Slice index 78; Image size 240x240; Head
FLAIR MR image.
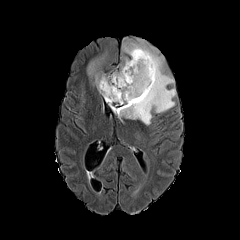
T1-weighted MR image.
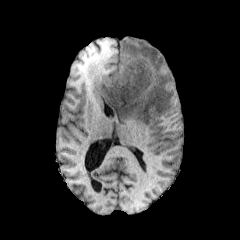
Post-contrast T1-weighted MR image.
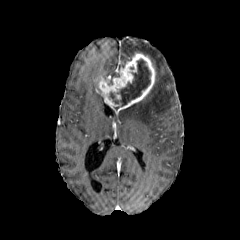
T2-weighted magnetic resonance.
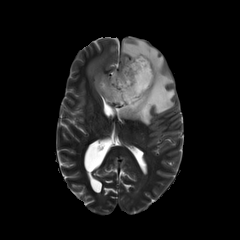
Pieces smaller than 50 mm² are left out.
{
  "enhancing_tumor": [
    "bbox=[98, 52, 155, 113]"
  ],
  "peritumoral_edema": [
    "bbox=[86, 48, 119, 87]",
    "bbox=[112, 37, 176, 125]"
  ],
  "necrotic_tumor_core": [
    "bbox=[109, 59, 150, 110]"
  ]
}